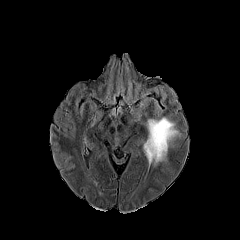
FLAIR MRI.
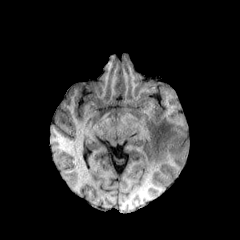
Same slice, T1-weighted magnetic resonance.
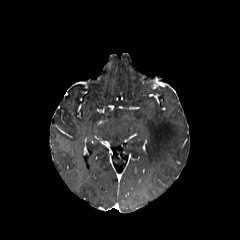
Post-contrast T1-weighted MR image of the same slice.
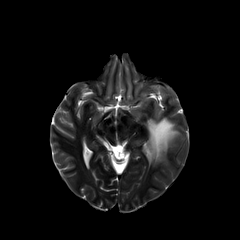
T2-weighted MR image.
Brain
The peritumoral edema is at 145 117 179 164.